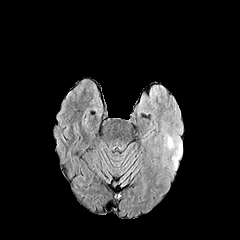
FLAIR magnetic resonance.
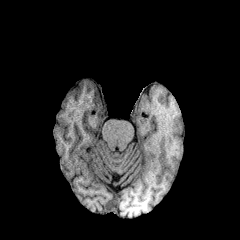
T1-weighted MR image.
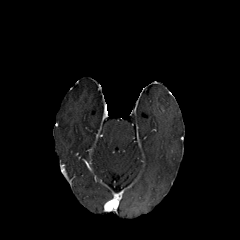
Post-contrast T1-weighted MR of the same slice.
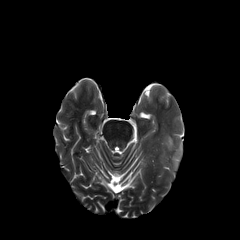
T2-weighted MR.
The peritumoral edema is bounded by bbox=[165, 134, 181, 166].